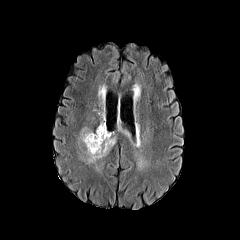
FLAIR magnetic resonance.
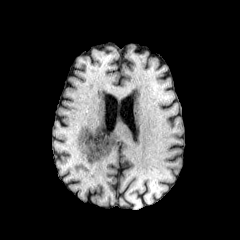
T1-weighted MR image.
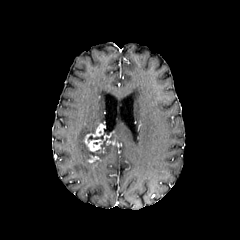
Post-contrast T1-weighted MR image.
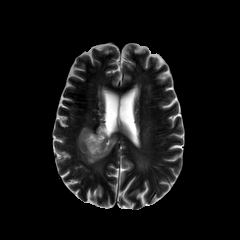
Same slice, T2-weighted MR.
Head; Axial slice
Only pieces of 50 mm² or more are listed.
Segmented structures:
• peritumoral edema: left=119, top=127, right=134, bottom=145; left=80, top=127, right=92, bottom=140; left=87, top=134, right=116, bottom=163
• necrotic tumor core: left=88, top=128, right=109, bottom=142
• enhancing tumor: left=84, top=123, right=111, bottom=151